FLAIR MRI.
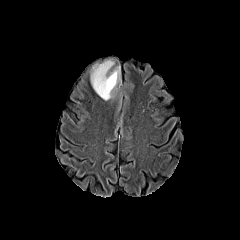
T1-weighted MR image.
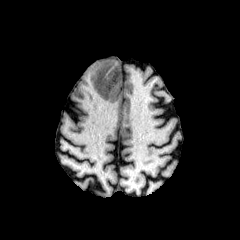
Post-contrast T1-weighted magnetic resonance.
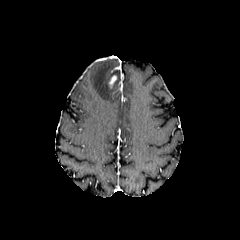
T2-weighted MR image.
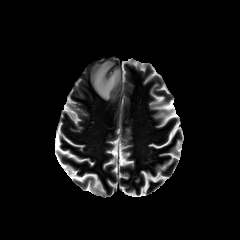
Axial plane | Brain | 240x240
enhancing_tumor:
  - (109, 75, 116, 87)
peritumoral_edema:
  - (90, 60, 120, 100)